Axial view
FLAIR MR.
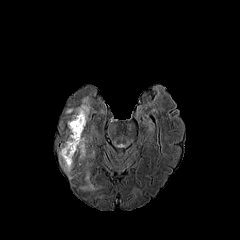
T1-weighted MR.
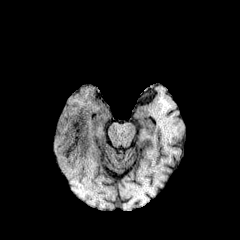
Post-contrast T1-weighted magnetic resonance.
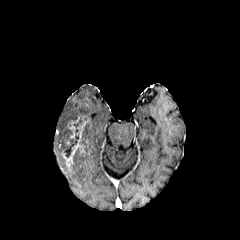
T2-weighted MR.
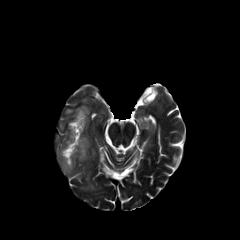
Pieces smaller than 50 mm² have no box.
peritumoral edema: (x1=82, y1=173, x2=96, y2=190), (x1=79, y1=132, x2=89, y2=159), (x1=59, y1=141, x2=79, y2=173), (x1=66, y1=98, x2=90, y2=128)
necrotic tumor core: (x1=64, y1=118, x2=82, y2=157)
enhancing tumor: (x1=69, y1=117, x2=79, y2=139), (x1=62, y1=117, x2=86, y2=169)